240x240 px; Axial slice; Brain
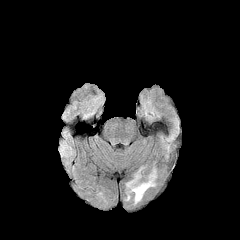
FLAIR MRI.
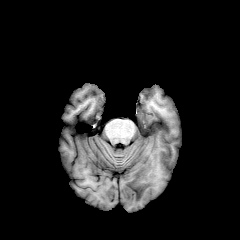
T1-weighted magnetic resonance.
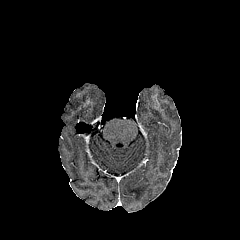
Post-contrast T1-weighted MR image.
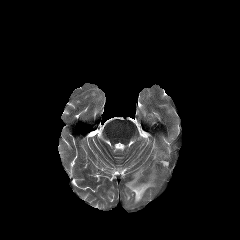
T2-weighted MRI.
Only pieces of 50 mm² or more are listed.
{
  "peritumoral_edema": [
    {"x1": 132, "y1": 180, "x2": 153, "y2": 202}
  ]
}